Image size 240x240; Slice 75 of 155
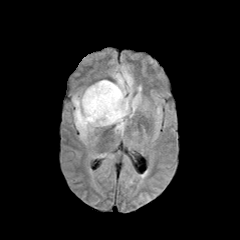
FLAIR MR.
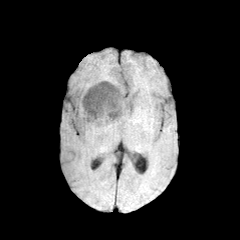
T1-weighted magnetic resonance of the same slice.
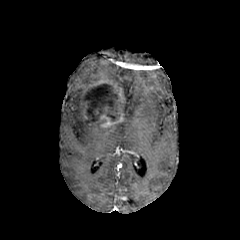
Same slice, post-contrast T1-weighted MR image.
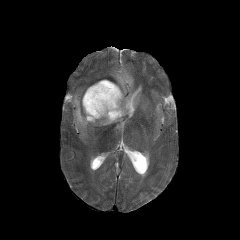
T2-weighted MR.
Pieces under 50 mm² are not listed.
enhancing tumor at 80, 80, 124, 127
peritumoral edema at 111, 71, 126, 97; 72, 95, 102, 140; 115, 66, 147, 134
necrotic tumor core at 83, 83, 120, 123